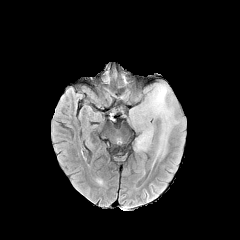
FLAIR magnetic resonance.
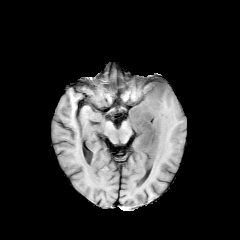
T1-weighted MRI.
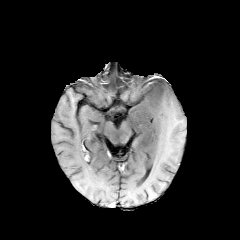
Post-contrast T1-weighted MR of the same slice.
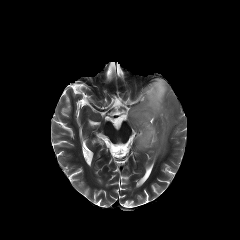
Same slice, T2-weighted MR.
240x240 px
peritumoral edema — <box>129,77,184,158</box>